FLAIR MR.
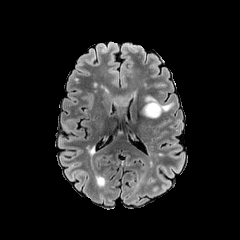
T1-weighted MR image.
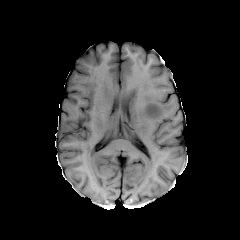
Post-contrast T1-weighted MRI.
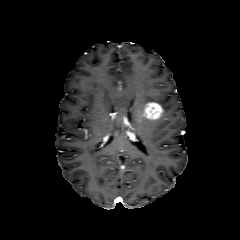
T2-weighted MR.
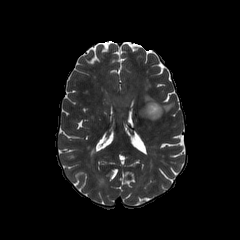
240x240 px, Brain
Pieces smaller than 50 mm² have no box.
The enhancing tumor is bounded by bbox(142, 102, 163, 119). The largest peritumoral edema region appears at bbox(144, 96, 173, 111).